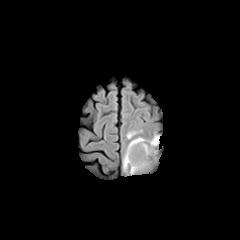
FLAIR MRI.
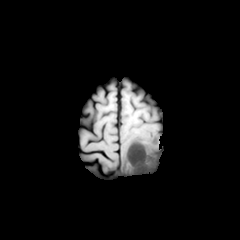
T1-weighted MR image.
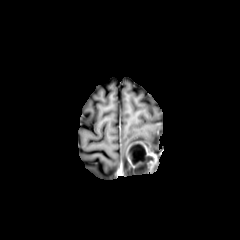
Post-contrast T1-weighted MR.
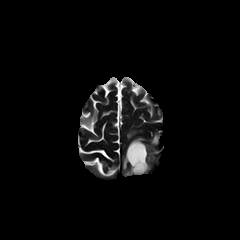
T2-weighted MR.
Image size 240x240 | Brain
enhancing tumor = rect(125, 140, 158, 174)
necrotic tumor core = rect(129, 144, 146, 163); rect(136, 156, 154, 170)
peritumoral edema = rect(122, 153, 134, 175); rect(130, 133, 159, 153); rect(126, 130, 141, 139)